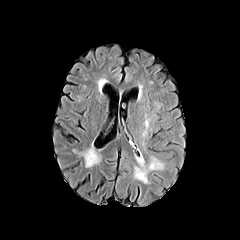
FLAIR MR image.
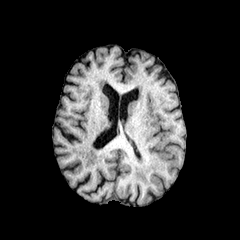
T1-weighted magnetic resonance.
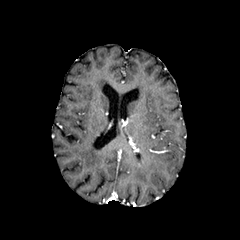
Same slice, post-contrast T1-weighted magnetic resonance.
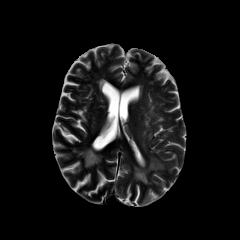
T2-weighted MRI.
Axial slice | 240x240
peritumoral edema: [x1=136, y1=155, x2=145, y2=173]